Axial slice, Image width 240 mm, 1.00 mm slice spacing, Slice index 32
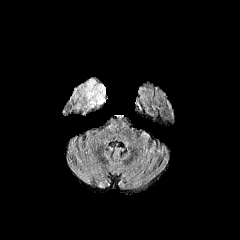
FLAIR MR.
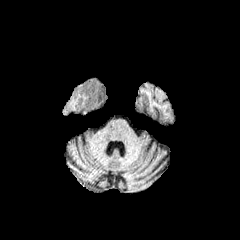
T1-weighted MR image of the same slice.
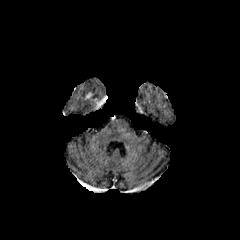
Post-contrast T1-weighted MR image.
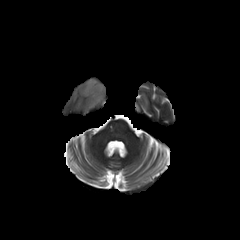
T2-weighted magnetic resonance of the same slice.
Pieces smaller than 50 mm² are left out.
* enhancing tumor: bbox=[91, 97, 105, 106]
* peritumoral edema: bbox=[83, 79, 105, 100]; bbox=[87, 99, 95, 107]